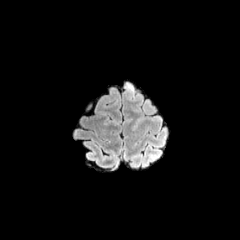
FLAIR MR.
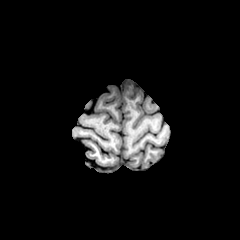
T1-weighted MR image.
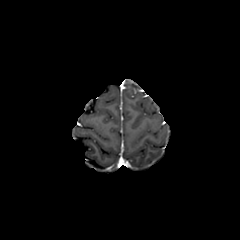
Same slice, post-contrast T1-weighted MRI.
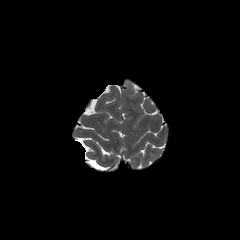
Same slice, T2-weighted MR image.
Axial view | Brain
The peritumoral edema appears at <bbox>127, 83, 133, 92</bbox>.